FLAIR MR image.
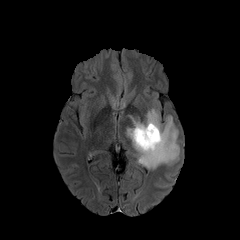
T1-weighted magnetic resonance.
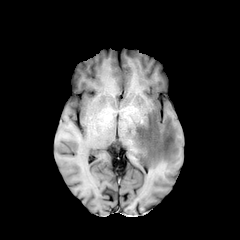
Post-contrast T1-weighted magnetic resonance.
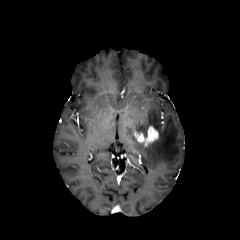
T2-weighted magnetic resonance.
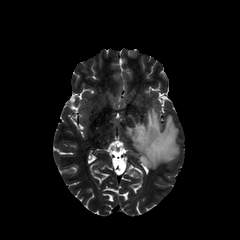
Axial plane | 240x240 px
The enhancing tumor lies within bbox=[134, 126, 158, 146]. The peritumoral edema lies within bbox=[127, 108, 179, 169].